Brain | Slice 84/155
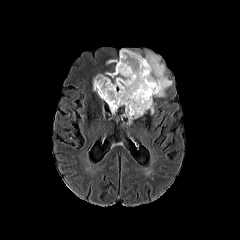
FLAIR MRI.
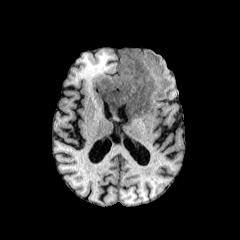
T1-weighted MR.
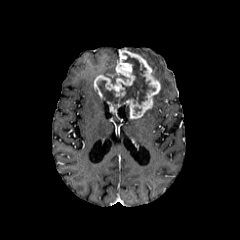
Post-contrast T1-weighted MRI.
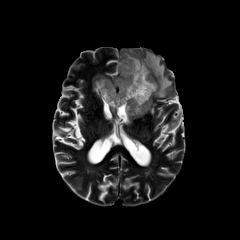
T2-weighted MR of the same slice.
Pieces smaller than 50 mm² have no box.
The largest necrotic tumor core region lies within 98 53 155 105. 2 enhancing tumor regions are bounded by 107 101 120 112, 94 49 160 119. The 2 largest peritumoral edema regions are bounded by 104 71 126 83, 144 51 172 101.